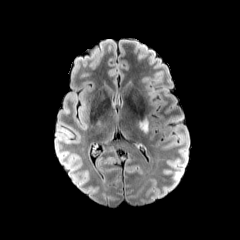
FLAIR MRI.
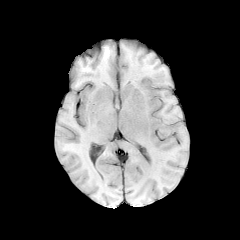
Same slice, T1-weighted magnetic resonance.
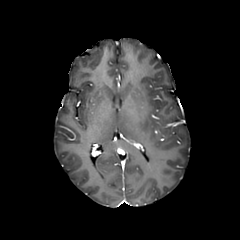
Post-contrast T1-weighted magnetic resonance of the same slice.
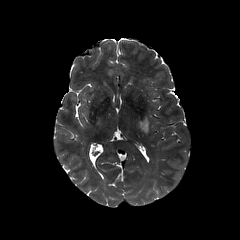
T2-weighted magnetic resonance.
Brain
The peritumoral edema is bounded by [138,114,148,132].